FLAIR MRI.
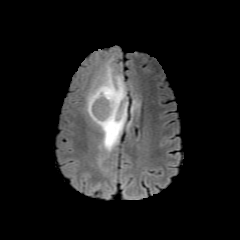
T1-weighted magnetic resonance.
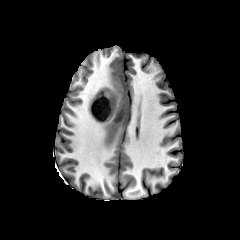
Post-contrast T1-weighted MR image.
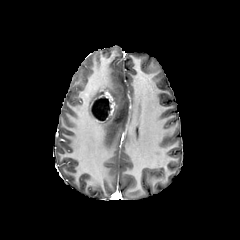
T2-weighted MR image.
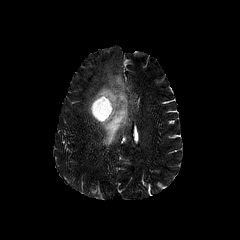
Brain.
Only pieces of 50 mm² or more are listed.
• enhancing tumor: bbox=[91, 87, 115, 122]
• necrotic tumor core: bbox=[92, 96, 110, 121]
• peritumoral edema: bbox=[86, 61, 127, 152]; bbox=[131, 99, 139, 113]